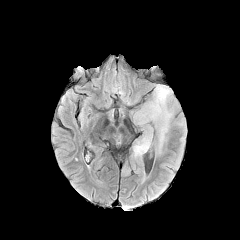
FLAIR MR.
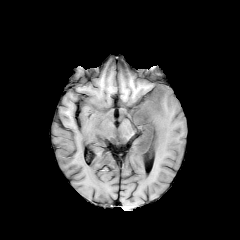
T1-weighted magnetic resonance of the same slice.
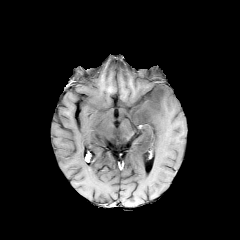
Post-contrast T1-weighted MRI.
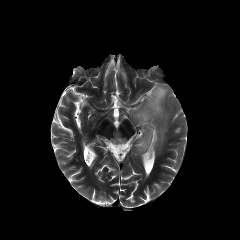
T2-weighted MR image of the same slice.
Brain, Image size 240x240
peritumoral edema: (128,83,180,155)